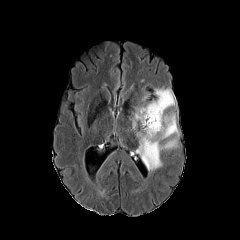
FLAIR MRI.
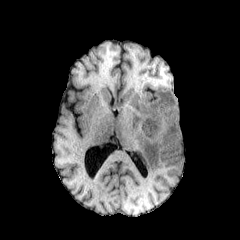
T1-weighted MRI.
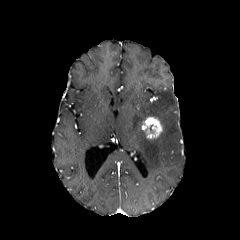
Post-contrast T1-weighted magnetic resonance.
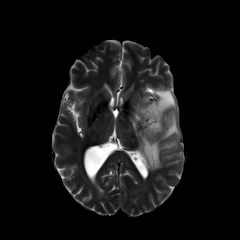
Same slice, T2-weighted magnetic resonance.
Brain
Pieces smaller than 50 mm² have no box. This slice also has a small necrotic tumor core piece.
Segmented structures:
* enhancing tumor: {"x1": 142, "y1": 116, "x2": 162, "y2": 139}
* peritumoral edema: {"x1": 132, "y1": 88, "x2": 179, "y2": 170}